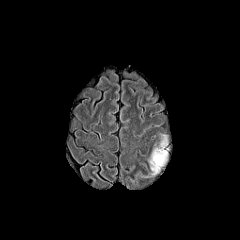
FLAIR MR image.
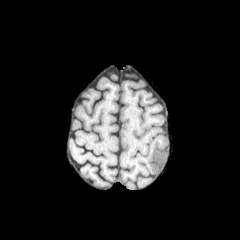
T1-weighted magnetic resonance.
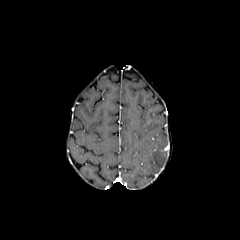
Same slice, post-contrast T1-weighted magnetic resonance.
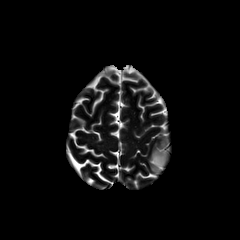
T2-weighted MR image.
Head
<segmentation>
  <peritumoral_edema>[149, 135, 167, 174]</peritumoral_edema>
</segmentation>